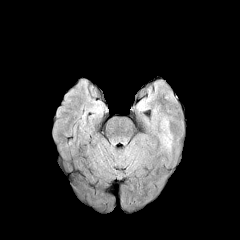
FLAIR MR image.
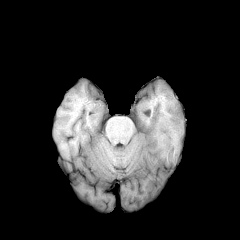
T1-weighted MR of the same slice.
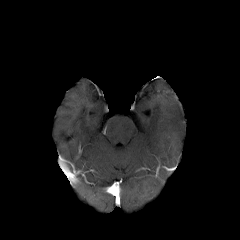
Same slice, post-contrast T1-weighted magnetic resonance.
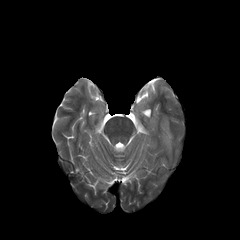
Same slice, T2-weighted MR image.
Axial view, 240x240 px
{
  "peritumoral_edema": [
    "136,97,149,111",
    "159,118,173,151"
  ]
}